FLAIR MR.
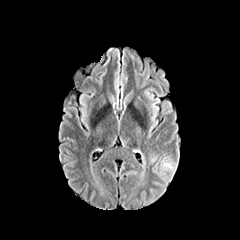
T1-weighted MRI.
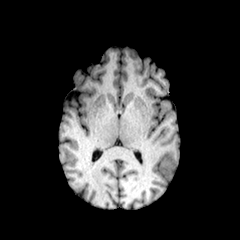
Post-contrast T1-weighted MR image.
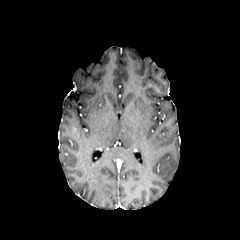
T2-weighted magnetic resonance.
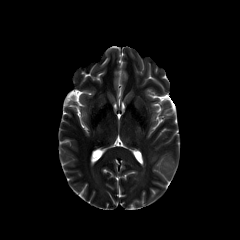
Image size 240x240, Head
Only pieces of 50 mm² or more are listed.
peritumoral edema = (left=161, top=160, right=173, bottom=170)